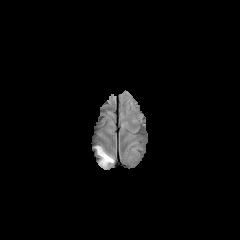
FLAIR MR image.
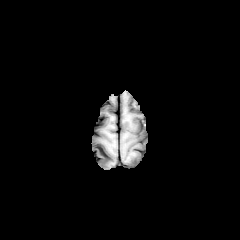
Same slice, T1-weighted MR.
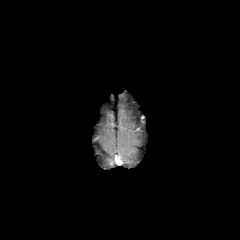
Post-contrast T1-weighted MR.
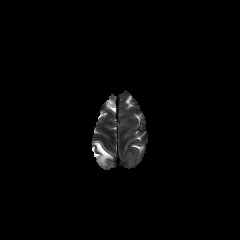
T2-weighted MR.
Axial view
The peritumoral edema is at l=96, t=146, r=113, b=165.